FLAIR MR image.
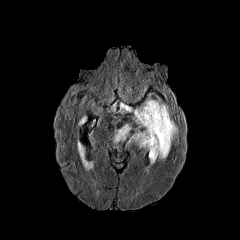
T1-weighted magnetic resonance.
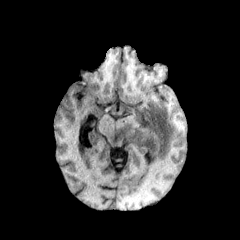
Post-contrast T1-weighted MRI.
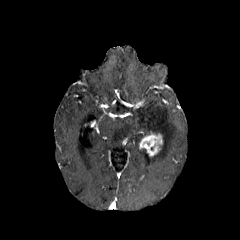
T2-weighted MR.
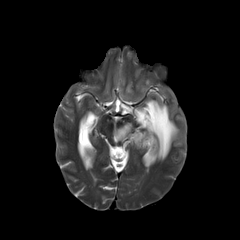
Axial slice | Head
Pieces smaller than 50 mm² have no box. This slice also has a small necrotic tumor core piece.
{"peritumoral_edema": ["(114,99,177,164)"], "enhancing_tumor": ["(139,131,163,156)"]}